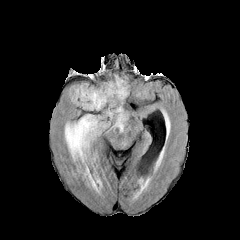
FLAIR MR image.
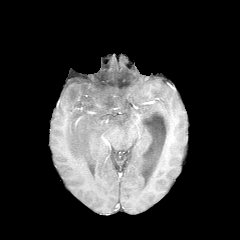
T1-weighted MR image of the same slice.
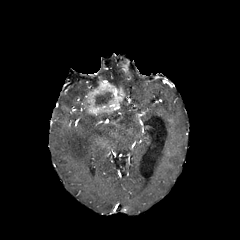
Post-contrast T1-weighted MR image.
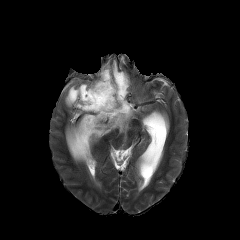
T2-weighted MR.
Axial slice
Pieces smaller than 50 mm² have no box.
Annotated regions:
* enhancing tumor: (81, 80, 125, 115)
* necrotic tumor core: (95, 92, 111, 104)
* peritumoral edema: (68, 84, 93, 108), (109, 74, 128, 96), (65, 101, 129, 163)